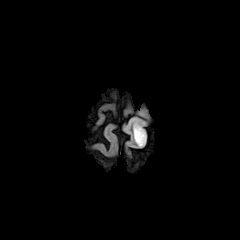
FLAIR MRI.
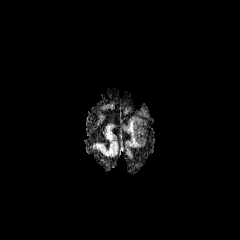
Same slice, T1-weighted MRI.
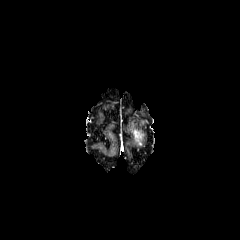
Post-contrast T1-weighted MR.
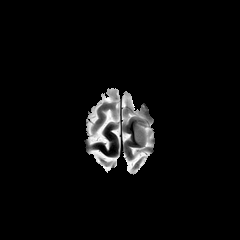
T2-weighted MR.
240x240; Brain
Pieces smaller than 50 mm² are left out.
The enhancing tumor lies within (134,130,142,144). The largest peritumoral edema region is at (128,117,146,147).